FLAIR magnetic resonance.
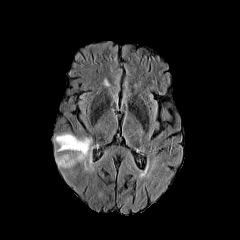
T1-weighted MR image.
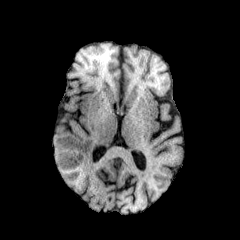
Post-contrast T1-weighted MR image.
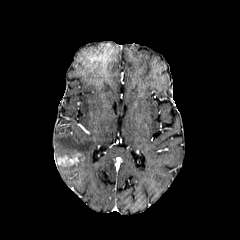
T2-weighted magnetic resonance.
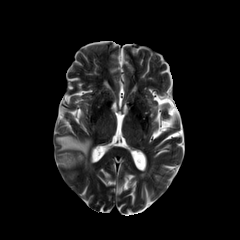
Axial slice
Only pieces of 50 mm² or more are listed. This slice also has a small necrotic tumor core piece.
The largest peritumoral edema region is at left=55, top=134, right=91, bottom=159. The enhancing tumor appears at left=57, top=152, right=84, bottom=166.